FLAIR MRI.
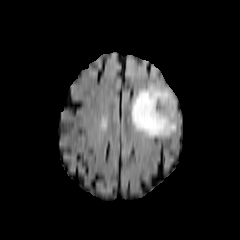
T1-weighted magnetic resonance.
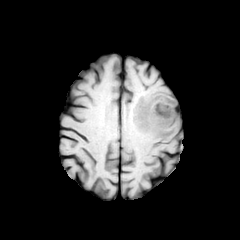
Post-contrast T1-weighted MR.
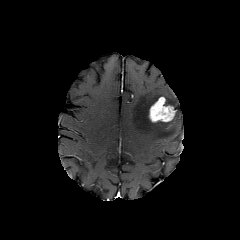
T2-weighted MR image.
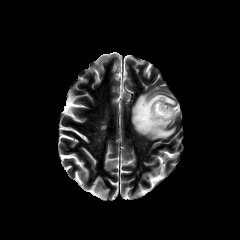
Head. Axial plane. 240x240 px.
enhancing tumor at region(148, 96, 176, 122)
peritumoral edema at region(131, 85, 176, 138)